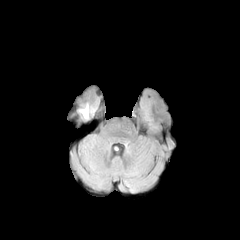
FLAIR magnetic resonance.
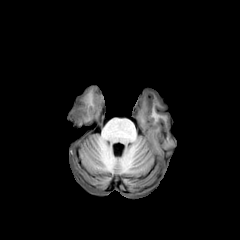
T1-weighted MR of the same slice.
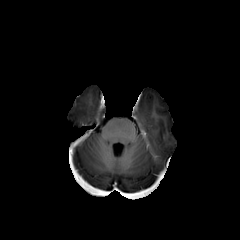
Same slice, post-contrast T1-weighted MR.
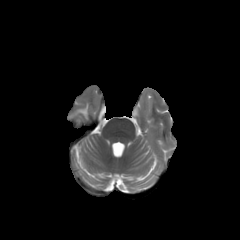
T2-weighted magnetic resonance.
Axial view.
peritumoral edema: bounding box <box>79,104,88,119</box>